FLAIR MRI.
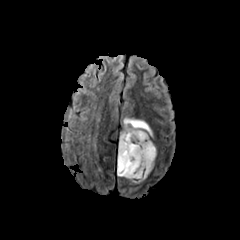
T1-weighted magnetic resonance.
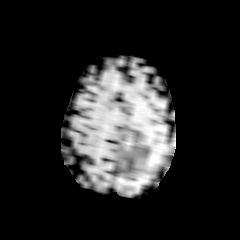
Post-contrast T1-weighted magnetic resonance.
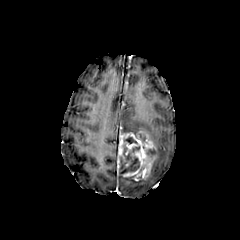
T2-weighted MRI.
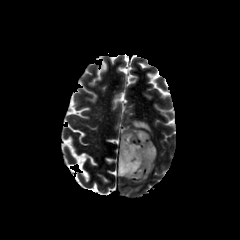
Axial plane | Brain | 240x240 px
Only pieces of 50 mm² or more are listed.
The largest enhancing tumor region is at bbox=[117, 131, 156, 181]. The largest peritumoral edema region is located at bbox=[121, 118, 152, 136]. The 3 largest necrotic tumor core regions appear at bbox=[147, 148, 155, 159]; bbox=[119, 146, 139, 174]; bbox=[124, 137, 137, 143].